Axial plane, Image covers 240 mm x 240 mm, Head, 240x240
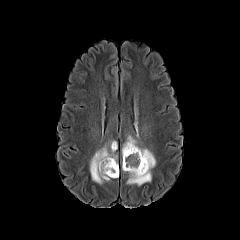
FLAIR MR.
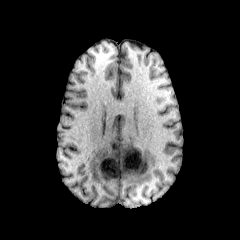
T1-weighted MR image.
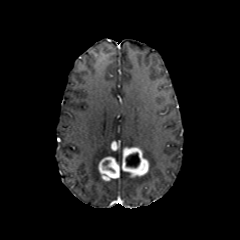
Post-contrast T1-weighted MRI of the same slice.
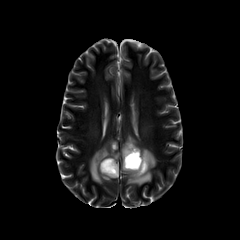
T2-weighted MR image.
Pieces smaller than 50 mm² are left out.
peritumoral edema — x1=89 y1=140 x2=117 y2=184, x1=121 y1=135 x2=156 y2=185
enhancing tumor — x1=111 y1=141 x2=117 y2=150, x1=122 y1=147 x2=149 y2=177, x1=98 y1=156 x2=119 y2=180
necrotic tumor core — x1=125 y1=153 x2=139 y2=167